Slice index 81. Axial plane.
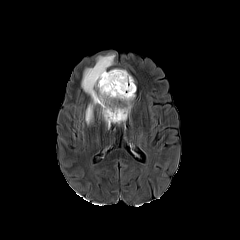
FLAIR MRI.
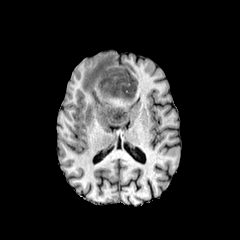
T1-weighted MR.
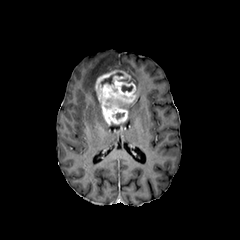
Post-contrast T1-weighted MR.
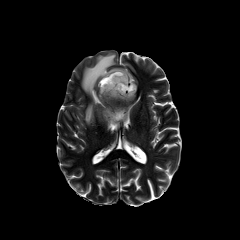
T2-weighted MR image of the same slice.
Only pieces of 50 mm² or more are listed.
The largest peritumoral edema region is located at 82:54:126:124. The 2 largest necrotic tumor core regions are bounded by 122:85:132:91, 101:75:113:85. The enhancing tumor is at 95:70:136:125.